Image size 240x240, Image width 240 mm, 1.00 mm slice spacing, Brain
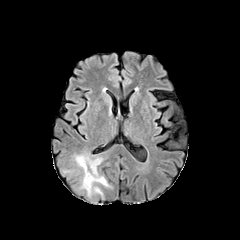
FLAIR MR image.
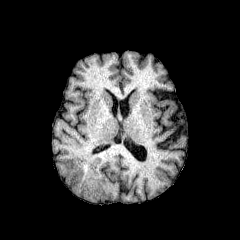
T1-weighted MR image.
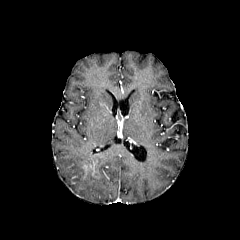
Post-contrast T1-weighted MR of the same slice.
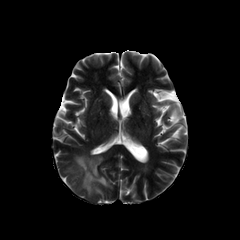
Same slice, T2-weighted MR image.
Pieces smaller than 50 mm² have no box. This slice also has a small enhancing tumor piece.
peritumoral_edema:
  - rect(75, 155, 108, 189)